Axial view, Slice index 52, Image width 240 mm, Head
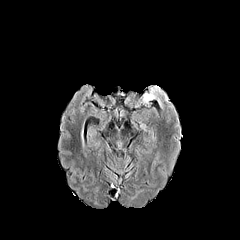
FLAIR magnetic resonance.
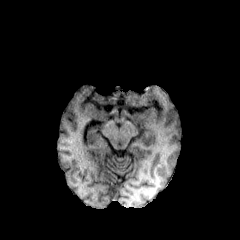
T1-weighted MR image of the same slice.
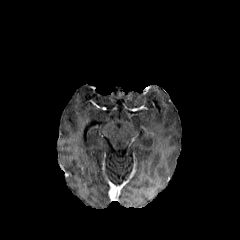
Same slice, post-contrast T1-weighted MRI.
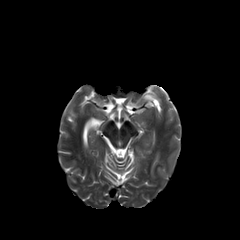
Same slice, T2-weighted MR.
peritumoral edema: <box>144,94,154,100</box>